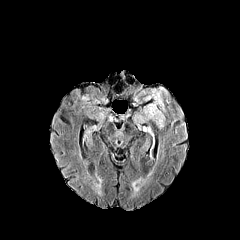
FLAIR MRI.
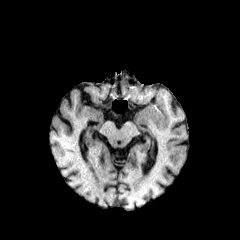
Same slice, T1-weighted MR image.
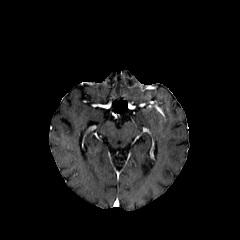
Same slice, post-contrast T1-weighted MRI.
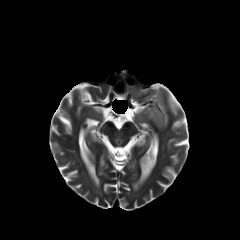
T2-weighted MRI of the same slice.
Head. Axial slice.
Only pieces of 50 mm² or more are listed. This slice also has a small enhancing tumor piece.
peritumoral_edema:
  - (x1=145, y1=107, x2=163, y2=127)
  - (x1=146, y1=91, x2=163, y2=109)